Slice index 78, Axial view, Brain
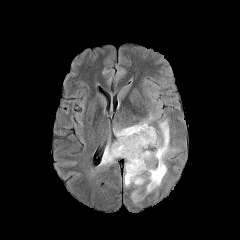
FLAIR MR image.
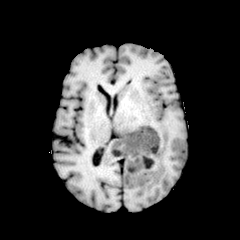
T1-weighted MR image.
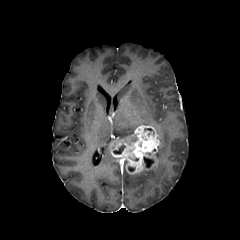
Post-contrast T1-weighted MR image.
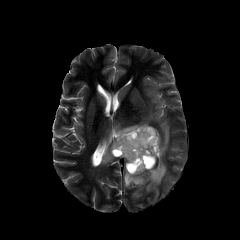
Same slice, T2-weighted MR image.
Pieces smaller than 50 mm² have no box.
enhancing tumor — box(110, 125, 160, 174)
peritumoral edema — box(144, 121, 169, 192); box(124, 171, 144, 186); box(100, 144, 114, 164); box(115, 122, 148, 138)
necrotic tumor core — box(113, 145, 125, 154); box(143, 157, 154, 168)